FLAIR magnetic resonance.
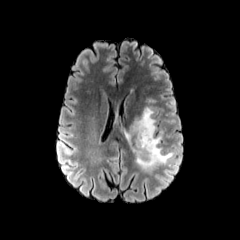
T1-weighted MR image.
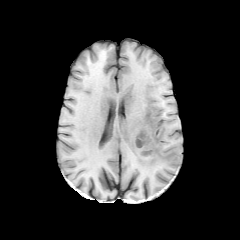
Post-contrast T1-weighted magnetic resonance.
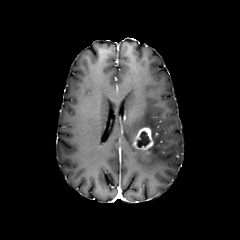
T2-weighted MR image.
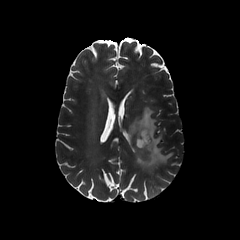
Axial view
Segmented structures:
• enhancing tumor: box(134, 127, 153, 154)
• necrotic tumor core: box(137, 131, 149, 147)
• peritumoral edema: box(121, 107, 173, 174)